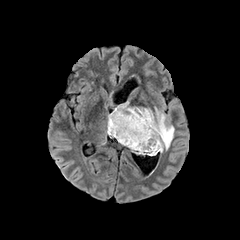
FLAIR MR.
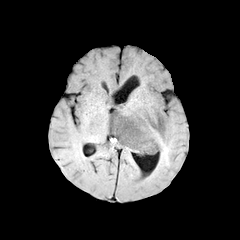
T1-weighted MRI.
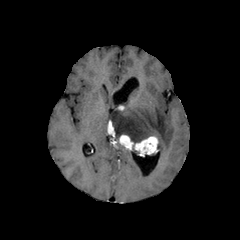
Post-contrast T1-weighted magnetic resonance.
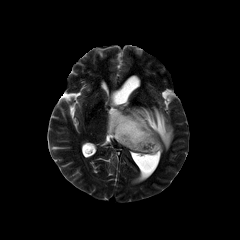
T2-weighted MR.
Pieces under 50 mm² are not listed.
The 2 largest enhancing tumor regions appear at left=118, top=134, right=158, bottom=155; left=107, top=120, right=116, bottom=137. The largest peritumoral edema region is at left=108, top=101, right=174, bottom=152.